FLAIR MR.
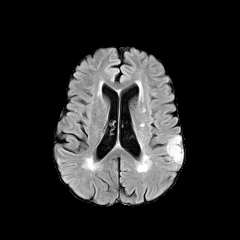
T1-weighted MR.
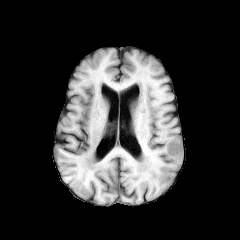
Post-contrast T1-weighted magnetic resonance.
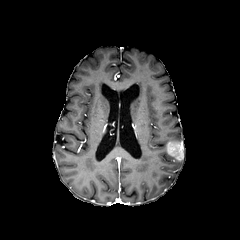
T2-weighted MRI.
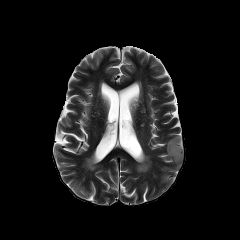
Brain; Axial view
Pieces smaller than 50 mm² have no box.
- enhancing tumor: 167,140,183,160
- peritumoral edema: 168,135,181,142